FLAIR magnetic resonance.
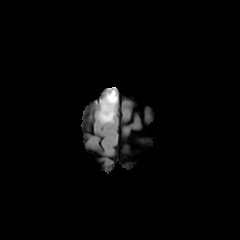
T1-weighted MRI.
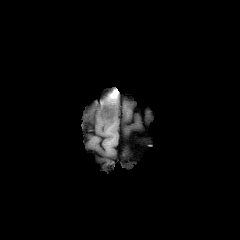
Post-contrast T1-weighted MRI.
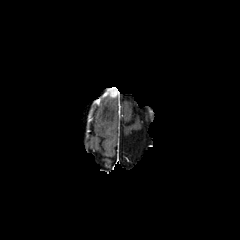
T2-weighted MR image.
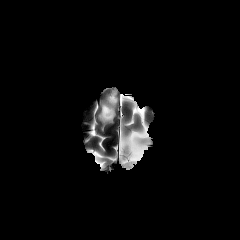
peritumoral edema: [98,96,117,123] | enhancing tumor: [105,88,117,98]